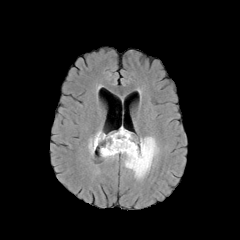
FLAIR MRI.
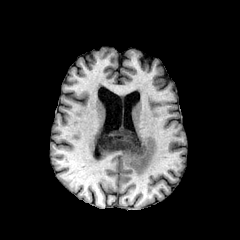
Same slice, T1-weighted magnetic resonance.
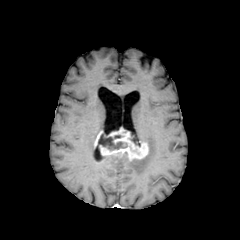
Post-contrast T1-weighted MRI.
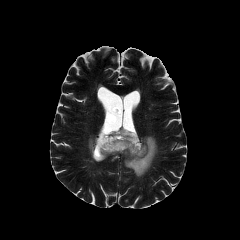
T2-weighted magnetic resonance.
Head, Axial view
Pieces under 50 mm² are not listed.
Segmented structures:
• peritumoral edema: [124,136,158,178], [88,132,98,154]
• necrotic tumor core: [97,135,126,150]
• enhancing tumor: [94,128,148,160]